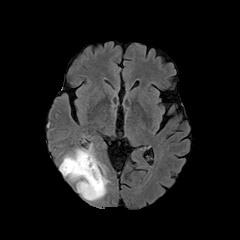
FLAIR MRI.
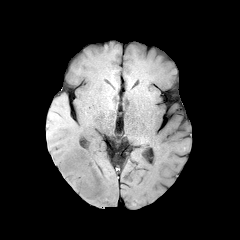
T1-weighted MRI.
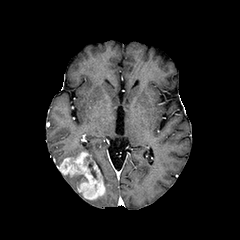
Same slice, post-contrast T1-weighted MR.
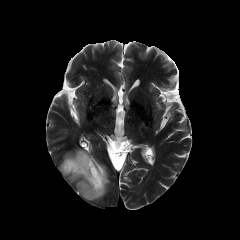
T2-weighted magnetic resonance.
Axial view, Image size 240x240, Brain
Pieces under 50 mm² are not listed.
The 2 largest peritumoral edema regions appear at left=63, top=174, right=87, bottom=187; left=63, top=144, right=109, bottom=194. The enhancing tumor is bounded by left=59, top=151, right=105, bottom=199. The largest necrotic tumor core region is bounded by left=88, top=162, right=96, bottom=178.